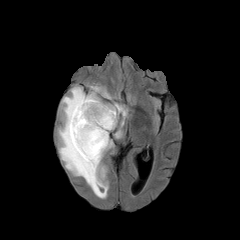
FLAIR magnetic resonance.
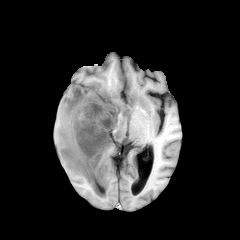
Same slice, T1-weighted MRI.
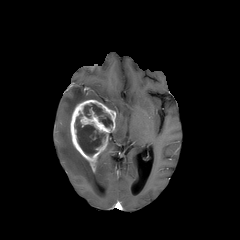
Post-contrast T1-weighted magnetic resonance of the same slice.
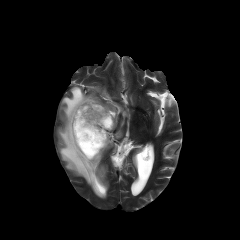
T2-weighted magnetic resonance.
Head. Axial slice.
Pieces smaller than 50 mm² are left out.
- necrotic tumor core: {"x1": 75, "y1": 114, "x2": 105, "y2": 155}, {"x1": 83, "y1": 103, "x2": 112, "y2": 127}
- enhancing tumor: {"x1": 70, "y1": 99, "x2": 116, "y2": 172}
- peritumoral edema: {"x1": 58, "y1": 86, "x2": 111, "y2": 198}, {"x1": 104, "y1": 103, "x2": 127, "y2": 138}